Slice index 129.
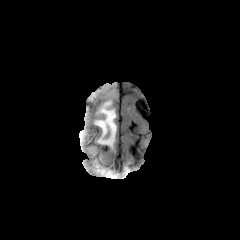
FLAIR MRI.
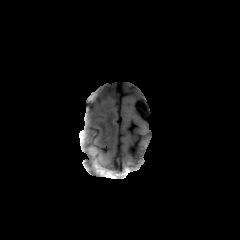
T1-weighted MR of the same slice.
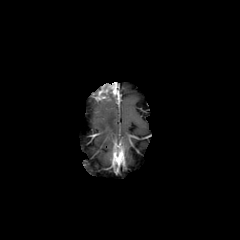
Post-contrast T1-weighted magnetic resonance of the same slice.
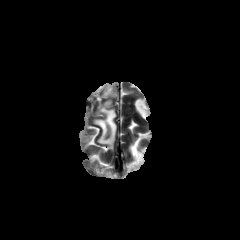
T2-weighted MR image.
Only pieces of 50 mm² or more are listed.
Segmented structures:
• peritumoral edema: x1=92 y1=97 x2=116 y2=151
• enhancing tumor: x1=94 y1=82 x2=118 y2=100